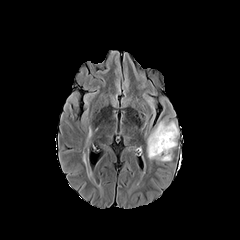
FLAIR MR.
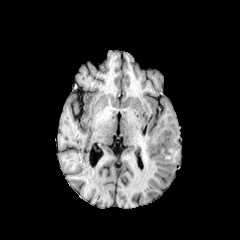
T1-weighted MRI.
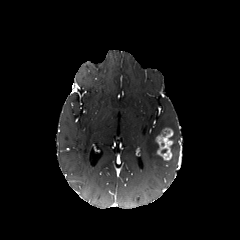
Same slice, post-contrast T1-weighted MR.
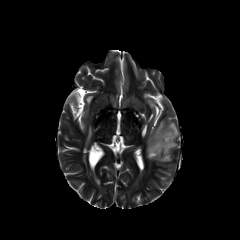
T2-weighted MRI.
Axial view, 240x240
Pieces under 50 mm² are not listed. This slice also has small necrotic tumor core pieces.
enhancing tumor: bounding box 155:128:173:160
peritumoral edema: bounding box 147:120:178:161